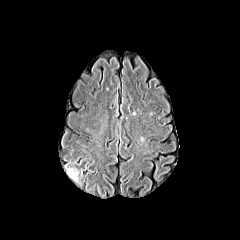
FLAIR MR image.
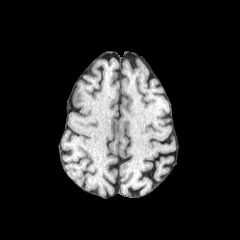
T1-weighted MR image of the same slice.
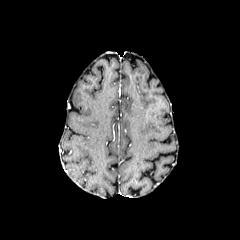
Same slice, post-contrast T1-weighted MRI.
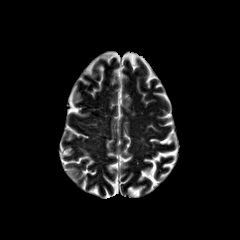
Same slice, T2-weighted MR.
Axial view | Brain
<segmentation>
  <peritumoral_edema>66,167,79,181</peritumoral_edema>
</segmentation>